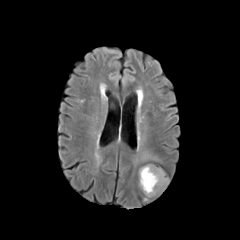
FLAIR MR.
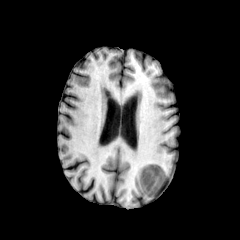
Same slice, T1-weighted magnetic resonance.
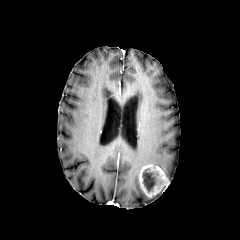
Post-contrast T1-weighted MR image.
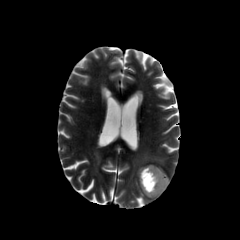
T2-weighted magnetic resonance.
Axial slice | Image size 240x240 | Brain
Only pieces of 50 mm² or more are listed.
The enhancing tumor lies within bbox=[139, 164, 169, 197]. The largest necrotic tumor core region is located at bbox=[142, 169, 161, 191]. The largest peritumoral edema region is located at bbox=[143, 154, 159, 160].